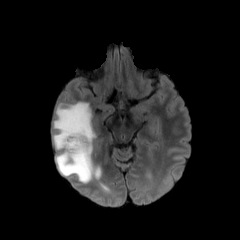
FLAIR MR image.
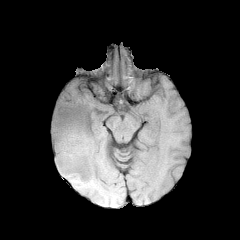
T1-weighted MRI.
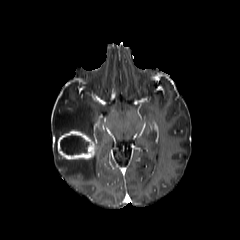
Same slice, post-contrast T1-weighted MRI.
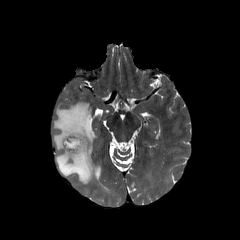
T2-weighted MRI.
240x240 px
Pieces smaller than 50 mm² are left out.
- necrotic tumor core: l=60, t=135, r=88, b=154
- peritumoral edema: l=52, t=101, r=100, b=183
- enhancing tumor: l=57, t=130, r=96, b=159